Brain
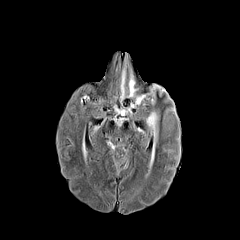
FLAIR MR image.
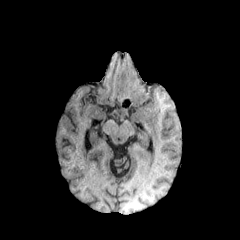
T1-weighted magnetic resonance of the same slice.
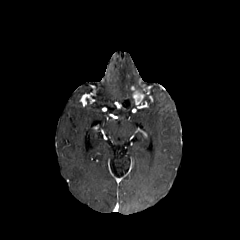
Same slice, post-contrast T1-weighted MRI.
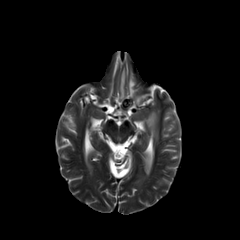
T2-weighted MR image.
peritumoral edema at x1=120 y1=65 x2=134 y2=101, x1=146 y1=112 x2=158 y2=150
enhancing tumor at x1=131 y1=86 x2=144 y2=104